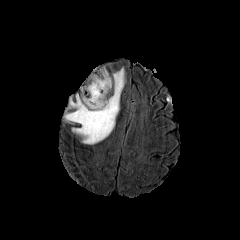
FLAIR MR image.
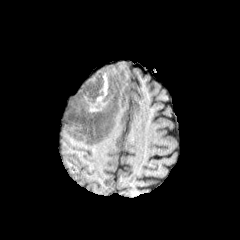
T1-weighted MRI of the same slice.
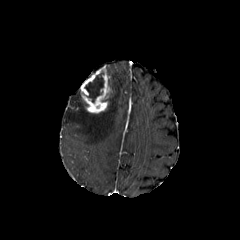
Post-contrast T1-weighted magnetic resonance.
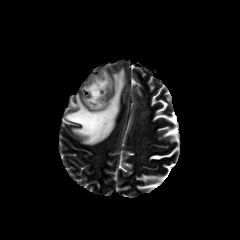
T2-weighted MR image of the same slice.
Axial slice
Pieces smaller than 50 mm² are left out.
necrotic tumor core at (x1=85, y1=72, x2=104, y2=102)
peritumoral edema at (x1=64, y1=67, x2=125, y2=144)
enhancing tumor at (x1=80, y1=66, x2=111, y2=113)